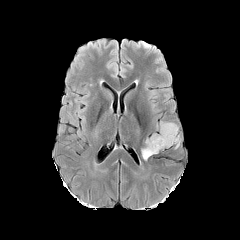
FLAIR MRI.
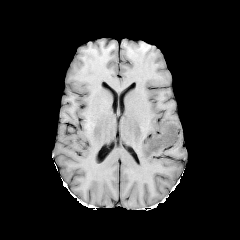
T1-weighted MR.
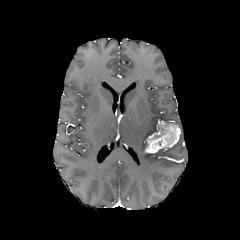
Post-contrast T1-weighted MRI.
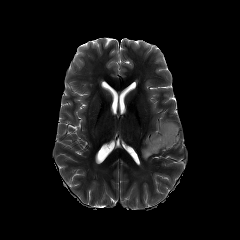
T2-weighted MRI of the same slice.
Axial plane, 240x240 px, Brain
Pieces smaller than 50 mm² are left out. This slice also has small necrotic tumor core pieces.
enhancing tumor = (left=145, top=121, right=180, bottom=153)
peritumoral edema = (left=142, top=147, right=152, bottom=160)